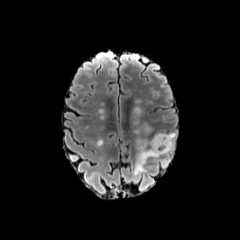
FLAIR MR.
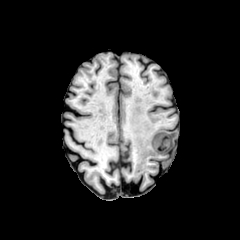
T1-weighted MR image.
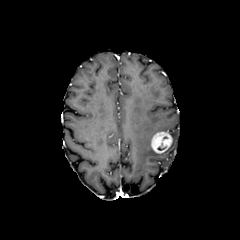
Post-contrast T1-weighted magnetic resonance of the same slice.
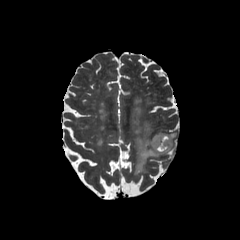
T2-weighted MR image.
Head
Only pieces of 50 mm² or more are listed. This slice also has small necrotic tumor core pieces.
The enhancing tumor is located at 151, 131, 172, 153. The 2 largest peritumoral edema regions appear at 134, 132, 176, 175; 144, 125, 151, 133.